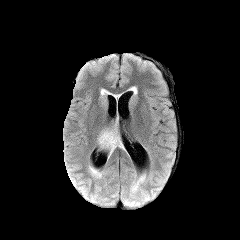
FLAIR magnetic resonance.
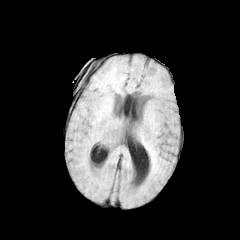
T1-weighted MR image of the same slice.
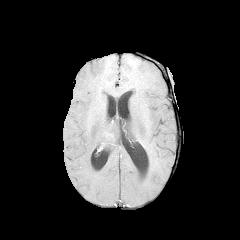
Post-contrast T1-weighted MRI.
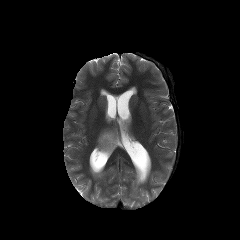
T2-weighted magnetic resonance of the same slice.
240x240 px, Brain
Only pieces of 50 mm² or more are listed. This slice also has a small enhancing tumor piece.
Annotated regions:
• peritumoral edema: l=97, t=124, r=124, b=157